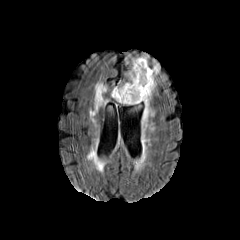
FLAIR magnetic resonance.
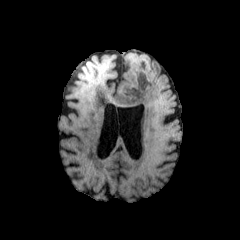
T1-weighted MR.
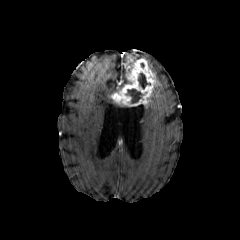
Same slice, post-contrast T1-weighted MR image.
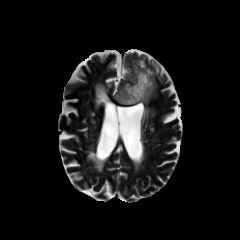
T2-weighted MRI.
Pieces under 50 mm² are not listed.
Findings:
- necrotic tumor core: (126, 89, 142, 103), (138, 73, 150, 88)
- peritumoral edema: (150, 60, 160, 77), (125, 55, 148, 72)
- enhancing tumor: (111, 58, 157, 106)